240x240 px | Image width 240 mm | Slice 54 of 155
FLAIR MRI.
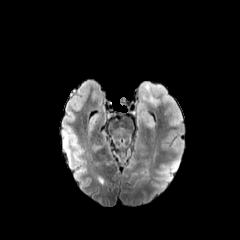
T1-weighted magnetic resonance.
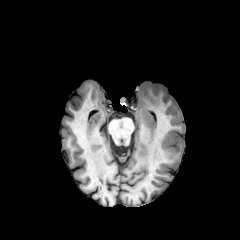
Post-contrast T1-weighted MR image.
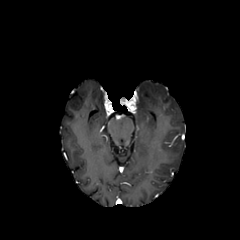
T2-weighted magnetic resonance.
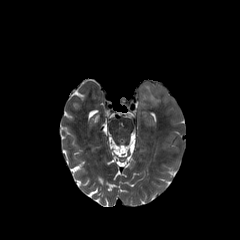
peritumoral edema: rect(137, 80, 182, 146)